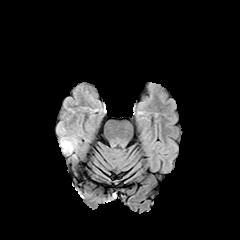
FLAIR MRI.
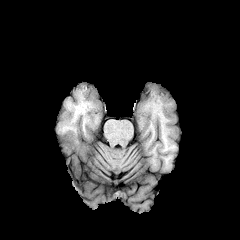
T1-weighted MR.
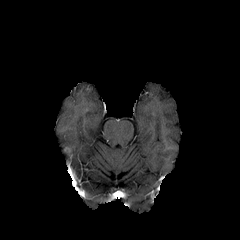
Same slice, post-contrast T1-weighted magnetic resonance.
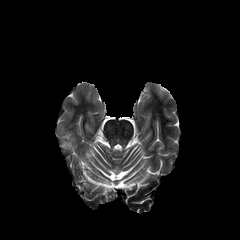
T2-weighted MR of the same slice.
Axial plane
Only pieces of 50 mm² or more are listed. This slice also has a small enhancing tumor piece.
Findings:
• peritumoral edema: (60,137,77,153)